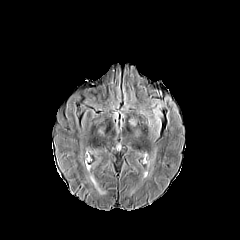
FLAIR MRI.
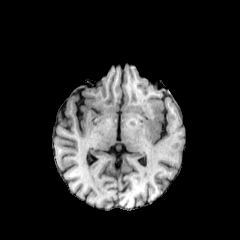
T1-weighted MR image of the same slice.
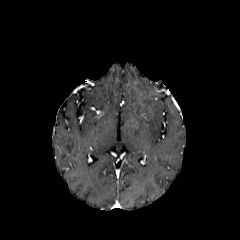
Post-contrast T1-weighted MR image of the same slice.
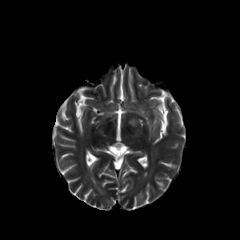
T2-weighted MR image.
240x240 px, Axial plane, Brain
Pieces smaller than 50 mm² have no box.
The largest peritumoral edema region is located at (154,109,160,129).